Slice 73/155 | Axial plane | Image size 240x240
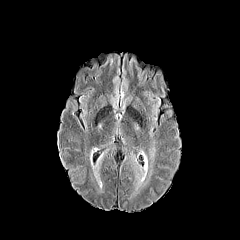
FLAIR MR.
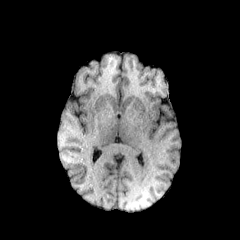
T1-weighted MR image.
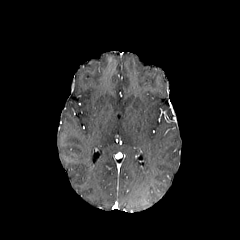
Post-contrast T1-weighted MR image of the same slice.
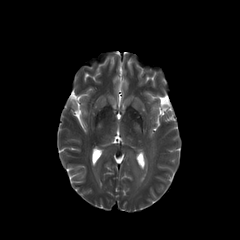
T2-weighted MRI.
{
  "peritumoral_edema": [
    "91,147,115,188",
    "125,144,155,196",
    "148,125,153,139"
  ]
}